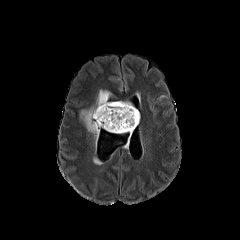
FLAIR MRI.
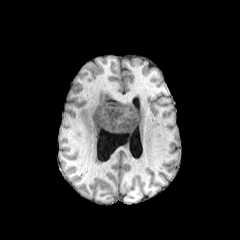
T1-weighted MR image of the same slice.
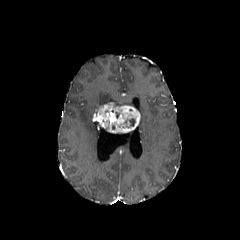
Same slice, post-contrast T1-weighted MRI.
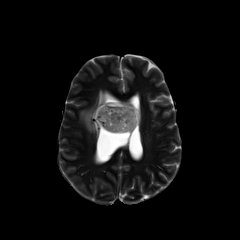
T2-weighted MRI of the same slice.
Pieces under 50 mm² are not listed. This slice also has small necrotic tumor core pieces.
The 2 largest peritumoral edema regions are located at (80, 90, 110, 144), (114, 101, 132, 105). The enhancing tumor appears at (93, 102, 140, 133).